Brain; Image size 240x240
FLAIR MR image.
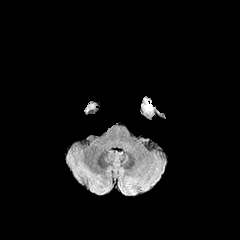
T1-weighted MR image.
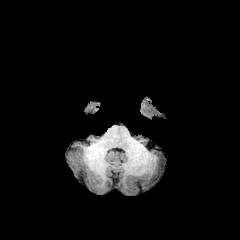
Post-contrast T1-weighted MRI.
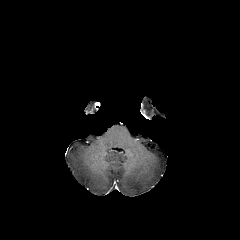
T2-weighted MRI.
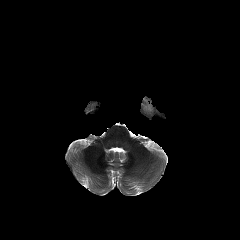
- peritumoral edema: 145 101 152 110